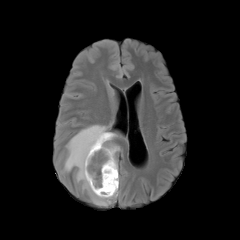
FLAIR MR image.
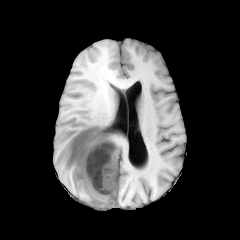
T1-weighted magnetic resonance of the same slice.
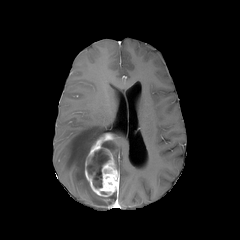
Post-contrast T1-weighted MRI.
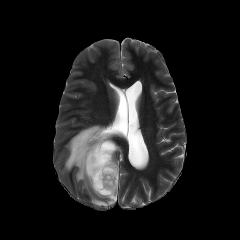
T2-weighted MRI of the same slice.
Brain | Image size 240x240
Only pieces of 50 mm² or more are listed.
The largest enhancing tumor region lies within (left=85, top=133, right=119, bottom=196). The 2 largest necrotic tumor core regions are located at (left=87, top=149, right=109, bottom=187), (left=102, top=141, right=113, bottom=149). 2 peritumoral edema regions appear at (left=112, top=140, right=120, bottom=170), (left=63, top=124, right=117, bottom=206).